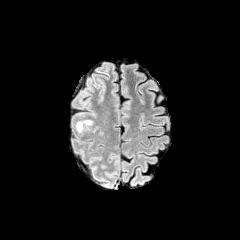
FLAIR magnetic resonance.
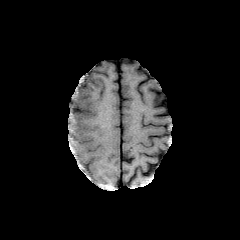
Same slice, T1-weighted MR.
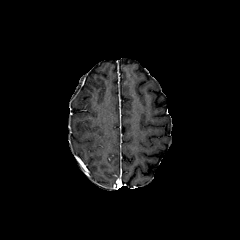
Post-contrast T1-weighted magnetic resonance.
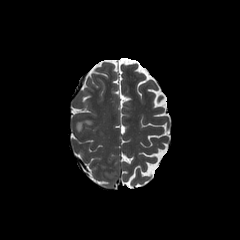
Same slice, T2-weighted MR.
Image size 240x240
{
  "peritumoral_edema": [
    "bbox=[75, 120, 92, 132]"
  ]
}